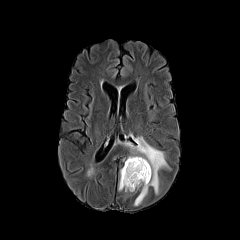
FLAIR magnetic resonance.
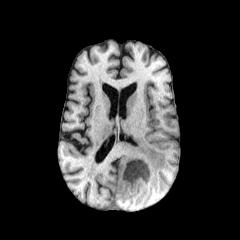
T1-weighted MRI.
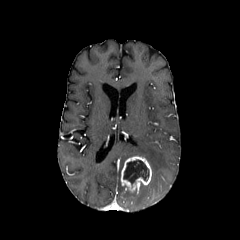
Post-contrast T1-weighted MR image of the same slice.
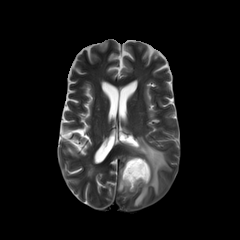
T2-weighted magnetic resonance.
Head
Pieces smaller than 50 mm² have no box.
Annotated regions:
- peritumoral edema: (left=124, top=136, right=169, bottom=206)
- necrotic tumor core: (left=123, top=160, right=149, bottom=184)
- enhancing tumor: (left=120, top=156, right=151, bottom=192)